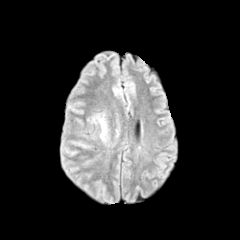
FLAIR MR image.
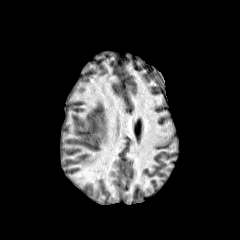
T1-weighted MR of the same slice.
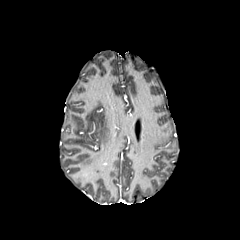
Post-contrast T1-weighted magnetic resonance.
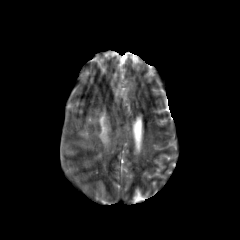
T2-weighted magnetic resonance of the same slice.
Axial plane; Brain
peritumoral_edema:
  - [99, 115, 106, 141]